FLAIR MR image.
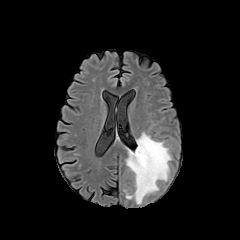
T1-weighted MRI.
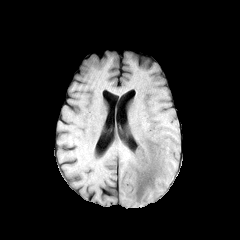
Post-contrast T1-weighted magnetic resonance.
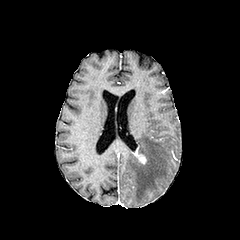
T2-weighted magnetic resonance.
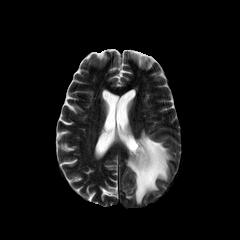
Image size 240x240
peritumoral edema: bounding box left=126, top=132, right=171, bottom=204
enhancing tumor: bounding box left=133, top=147, right=146, bottom=164